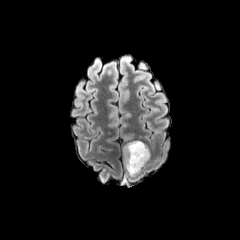
FLAIR magnetic resonance.
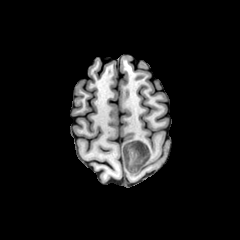
T1-weighted magnetic resonance.
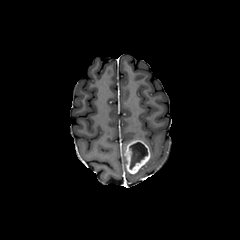
Same slice, post-contrast T1-weighted magnetic resonance.
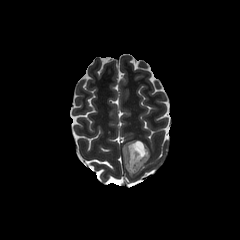
Same slice, T2-weighted MR.
Axial slice
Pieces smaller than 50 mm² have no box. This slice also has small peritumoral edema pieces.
The enhancing tumor is located at left=124, top=140, right=150, bottom=173. The necrotic tumor core lies within left=129, top=142, right=147, bottom=169.